Axial plane; Image size 240x240; Brain; Image covers 240 mm x 240 mm
FLAIR MRI.
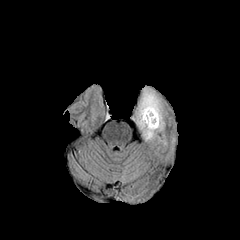
T1-weighted MR image.
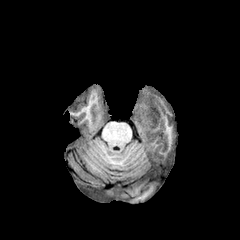
Post-contrast T1-weighted magnetic resonance.
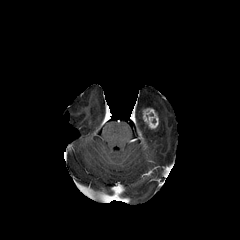
T2-weighted MR.
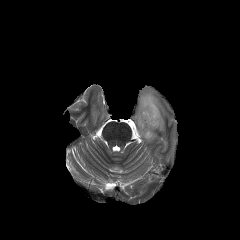
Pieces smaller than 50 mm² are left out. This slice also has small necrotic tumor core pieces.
The enhancing tumor is at {"x1": 143, "y1": 108, "x2": 158, "y2": 128}. The peritumoral edema lies within {"x1": 137, "y1": 88, "x2": 164, "y2": 140}.